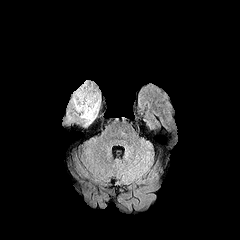
FLAIR MRI.
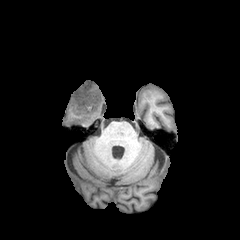
T1-weighted MR.
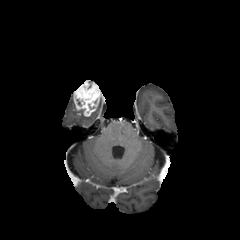
Post-contrast T1-weighted magnetic resonance.
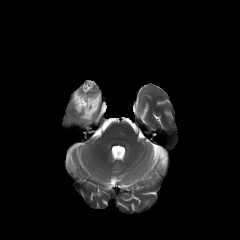
T2-weighted magnetic resonance of the same slice.
Axial view; Head; 240x240
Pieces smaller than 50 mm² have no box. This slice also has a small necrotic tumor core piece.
enhancing tumor at [73, 80, 101, 116]
peritumoral edema at [77, 103, 99, 124]